Axial slice | 240x240
FLAIR MR image.
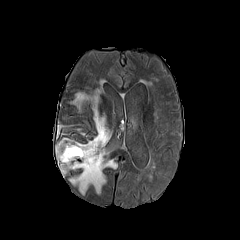
T1-weighted magnetic resonance.
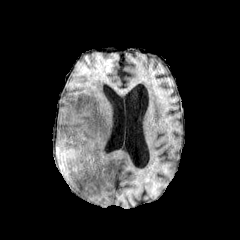
Post-contrast T1-weighted MR image.
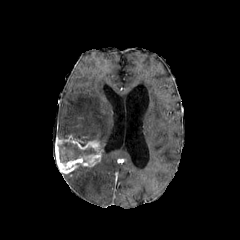
T2-weighted MRI.
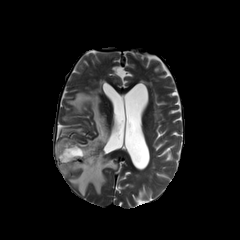
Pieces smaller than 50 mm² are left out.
peritumoral edema — l=70, t=152, r=117, b=194; l=71, t=93, r=108, b=149
enhancing tumor — l=55, t=137, r=103, b=173
necrotic tumor core — l=58, t=142, r=96, b=162